Image covers 240 mm x 240 mm, Axial plane, Image size 240x240, Brain, Slice 67 of 155
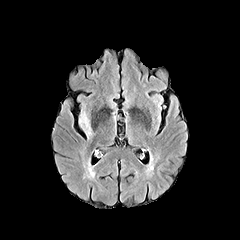
FLAIR MR.
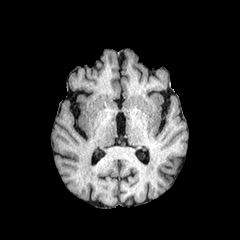
Same slice, T1-weighted MR.
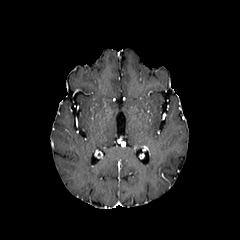
Post-contrast T1-weighted MR image of the same slice.
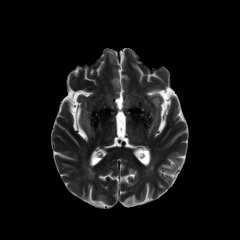
Same slice, T2-weighted magnetic resonance.
peritumoral_edema:
  - region(80, 114, 90, 134)